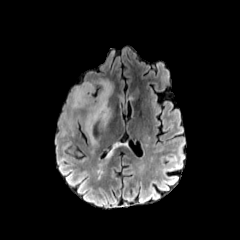
FLAIR MR.
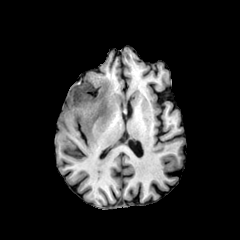
T1-weighted magnetic resonance.
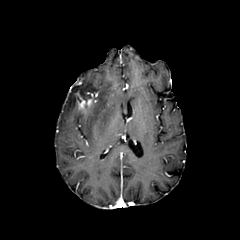
Post-contrast T1-weighted MR.
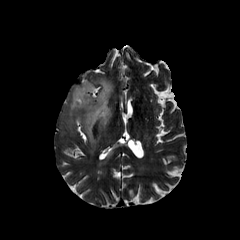
T2-weighted MRI.
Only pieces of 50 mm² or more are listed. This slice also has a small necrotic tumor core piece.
enhancing tumor: (x1=75, y1=92, x2=93, y2=113) | peritumoral edema: (x1=67, y1=79, x2=113, y2=145)